FLAIR MR.
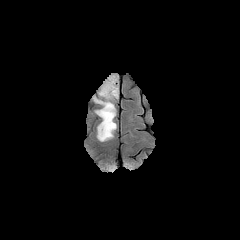
T1-weighted MR image.
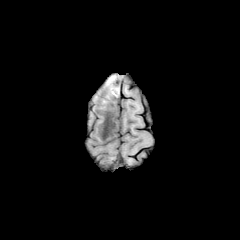
Post-contrast T1-weighted MR image.
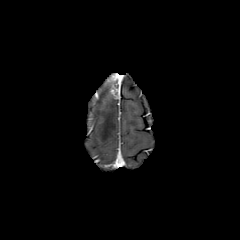
T2-weighted magnetic resonance.
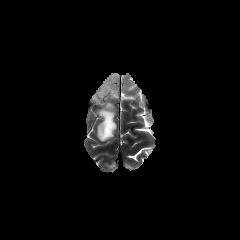
Brain.
2 peritumoral edema regions appear at <bbox>99, 84, 113, 99</bbox>, <bbox>94, 99, 116, 141</bbox>. The enhancing tumor is located at <bbox>106, 73, 119, 98</bbox>.